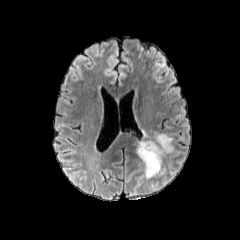
FLAIR MRI.
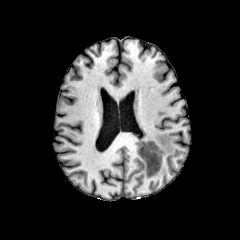
T1-weighted magnetic resonance.
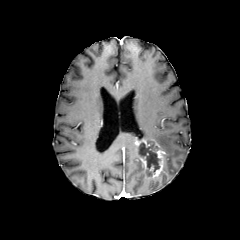
Post-contrast T1-weighted MR.
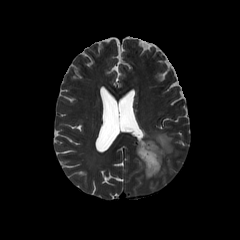
Same slice, T2-weighted MR image.
Head
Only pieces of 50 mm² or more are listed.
peritumoral_edema:
  - (left=147, top=133, right=173, bottom=154)
necrotic_tumor_core:
  - (left=140, top=143, right=159, bottom=175)
enhancing_tumor:
  - (left=137, top=140, right=165, bottom=178)